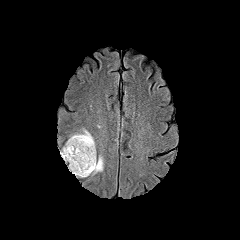
FLAIR MR image.
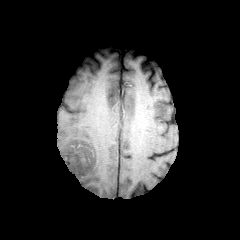
Same slice, T1-weighted MRI.
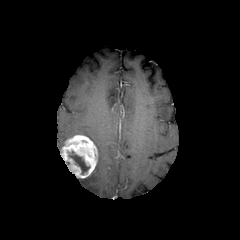
Post-contrast T1-weighted MRI.
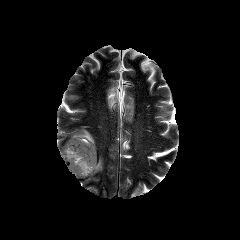
T2-weighted MR.
Image size 240x240
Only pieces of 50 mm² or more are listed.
peritumoral edema = x1=70, y1=128, x2=94, y2=143; x1=92, y1=155, x2=103, y2=174
enhancing tumor = x1=60, y1=135, x2=97, y2=178
necrotic tumor core = x1=69, y1=151, x2=89, y2=174